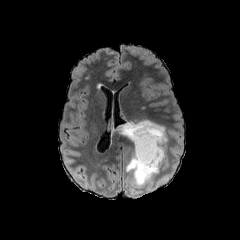
FLAIR magnetic resonance.
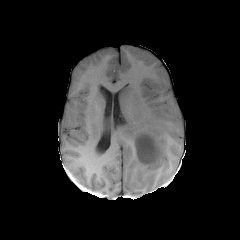
T1-weighted MRI of the same slice.
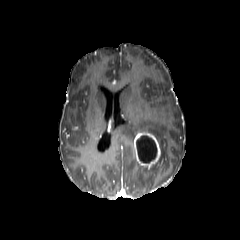
Post-contrast T1-weighted magnetic resonance.
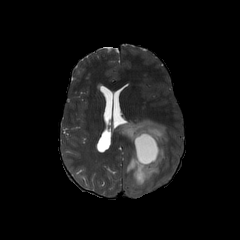
Same slice, T2-weighted magnetic resonance.
Axial slice.
The necrotic tumor core is at left=136, top=135, right=157, bottom=163. The enhancing tumor is bounded by left=134, top=132, right=160, bottom=168. The peritumoral edema lies within left=119, top=119, right=168, bottom=186.